Head | Axial view | 240x240 px | Slice index 93
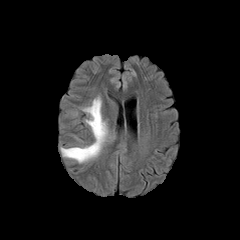
FLAIR MRI.
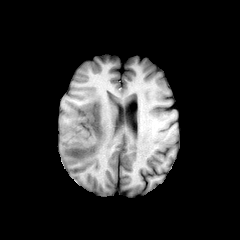
T1-weighted MRI of the same slice.
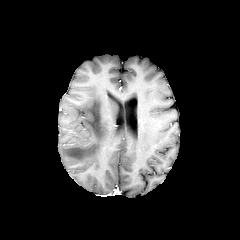
Post-contrast T1-weighted MR of the same slice.
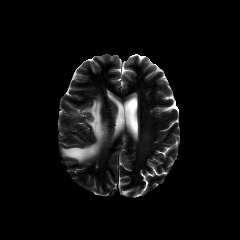
T2-weighted magnetic resonance.
* peritumoral edema: [61, 96, 108, 163]